FLAIR MR.
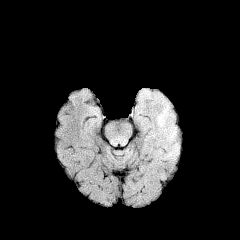
T1-weighted MR.
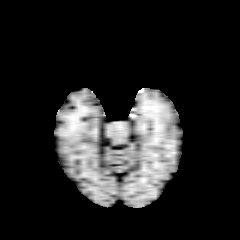
Post-contrast T1-weighted magnetic resonance.
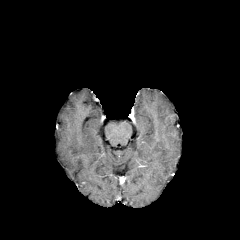
T2-weighted MR image.
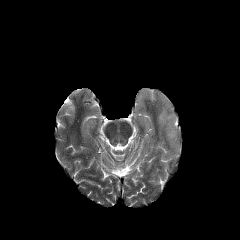
240x240 px, Brain
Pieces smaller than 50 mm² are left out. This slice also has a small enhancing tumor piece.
<segmentation>
  <peritumoral_edema>left=157, top=109, right=178, bottom=151</peritumoral_edema>
</segmentation>